FLAIR magnetic resonance.
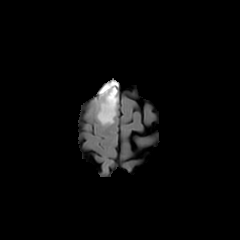
T1-weighted magnetic resonance.
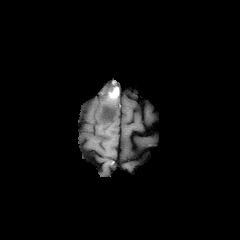
Post-contrast T1-weighted MR image.
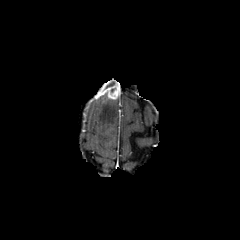
T2-weighted MR image.
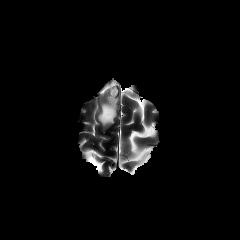
Brain
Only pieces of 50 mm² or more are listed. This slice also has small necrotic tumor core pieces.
The enhancing tumor is at (left=98, top=81, right=118, bottom=101). The peritumoral edema lies within (left=96, top=97, right=118, bottom=125).